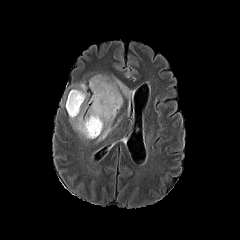
FLAIR MR image.
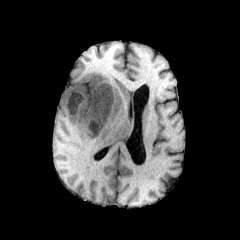
Same slice, T1-weighted MRI.
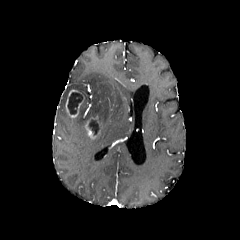
Post-contrast T1-weighted magnetic resonance.
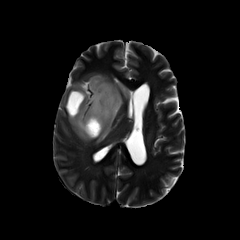
T2-weighted magnetic resonance of the same slice.
Axial slice
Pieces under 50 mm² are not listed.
2 enhancing tumor regions appear at 83 116 102 138, 65 89 84 118. 2 necrotic tumor core regions are bounded by 89 119 98 134, 67 92 82 114. The largest peritumoral edema region appears at 69 74 132 142.